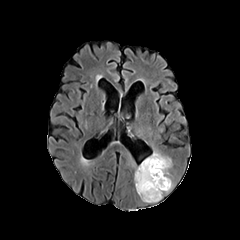
FLAIR magnetic resonance.
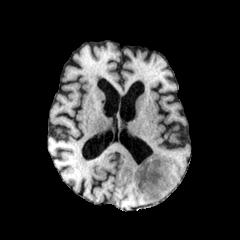
T1-weighted MRI of the same slice.
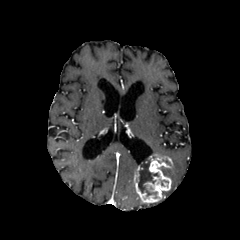
Post-contrast T1-weighted MR image of the same slice.
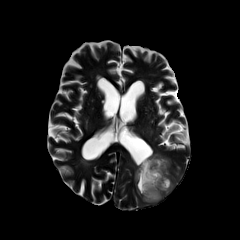
T2-weighted MR image.
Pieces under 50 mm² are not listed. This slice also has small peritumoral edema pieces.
The largest necrotic tumor core region lies within (x1=138, y1=160, x2=159, y2=193). The enhancing tumor lies within (x1=134, y1=154, x2=172, y2=202).